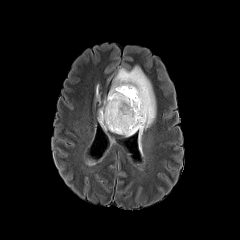
FLAIR MRI.
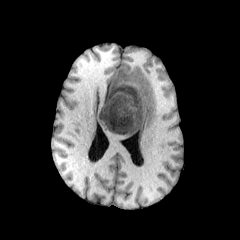
Same slice, T1-weighted MR image.
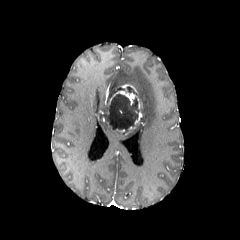
Same slice, post-contrast T1-weighted MR.
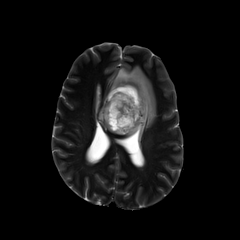
T2-weighted MRI.
Axial slice
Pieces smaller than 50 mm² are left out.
<segmentation>
  <enhancing_tumor>(109,84,141,109), (126,111,141,133)</enhancing_tumor>
  <peritumoral_edema>(109,66,155,150), (98,118,110,130)</peritumoral_edema>
  <necrotic_tumor_core>(99,87,139,133)</necrotic_tumor_core>
</segmentation>